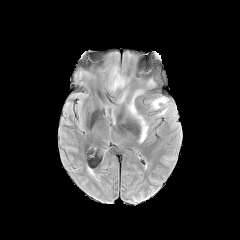
FLAIR MR.
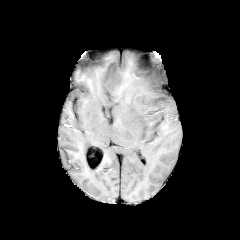
T1-weighted MRI.
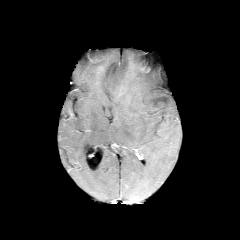
Post-contrast T1-weighted MRI.
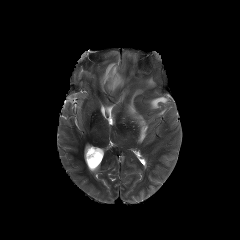
T2-weighted MR.
Axial plane | Brain
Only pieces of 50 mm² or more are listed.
The 2 largest peritumoral edema regions appear at <box>150,96,168,109</box>, <box>109,49,164,142</box>.